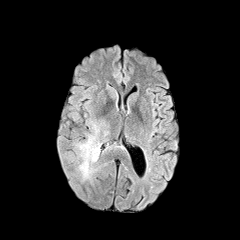
FLAIR magnetic resonance.
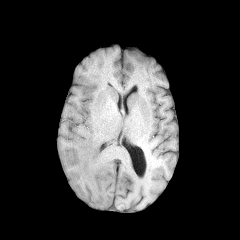
T1-weighted magnetic resonance.
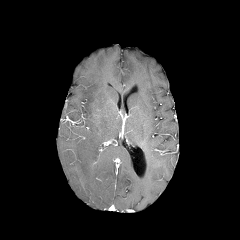
Post-contrast T1-weighted MR.
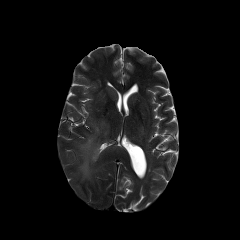
Same slice, T2-weighted MR.
Brain
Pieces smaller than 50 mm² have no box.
peritumoral edema: bounding box (x1=76, y1=121, x2=103, y2=180)